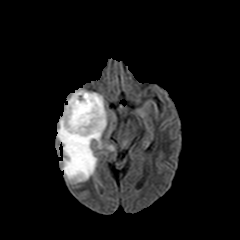
FLAIR magnetic resonance.
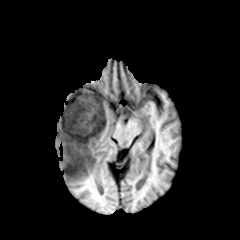
Same slice, T1-weighted magnetic resonance.
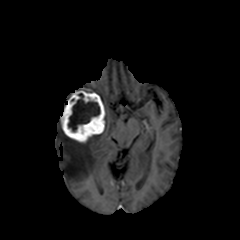
Same slice, post-contrast T1-weighted MR.
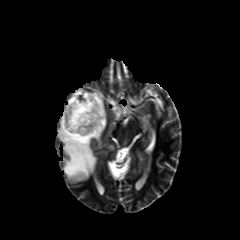
T2-weighted MRI.
Head, Axial slice
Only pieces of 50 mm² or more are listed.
necrotic tumor core: bounding box bbox(68, 93, 100, 131)
peritumoral edema: bounding box bbox(57, 121, 101, 182)
enhancing tumor: bounding box bbox(60, 90, 105, 142)